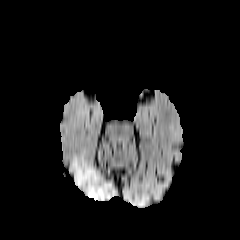
FLAIR MR.
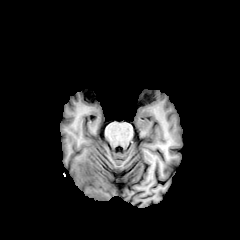
Same slice, T1-weighted MR image.
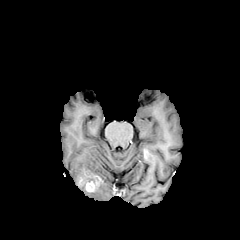
Post-contrast T1-weighted MRI.
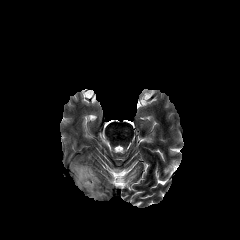
T2-weighted MR.
240x240 px
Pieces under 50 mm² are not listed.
enhancing tumor — box(78, 170, 100, 192)
peritumoral edema — box(73, 161, 96, 185); box(87, 184, 113, 200)